FLAIR magnetic resonance.
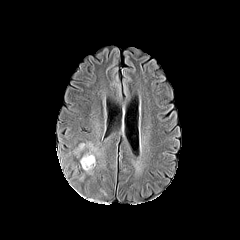
T1-weighted MRI.
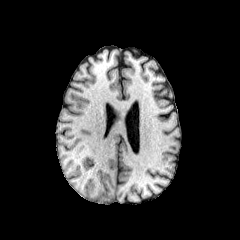
Post-contrast T1-weighted MR image.
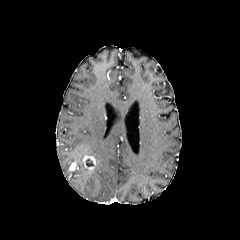
T2-weighted MR.
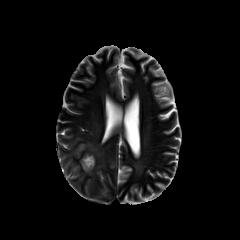
Brain
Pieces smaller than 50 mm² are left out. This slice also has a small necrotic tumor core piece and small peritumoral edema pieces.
enhancing_tumor:
  - bbox(83, 155, 95, 170)